Image width 240 mm. Image size 240x240. Head. Slice index 78.
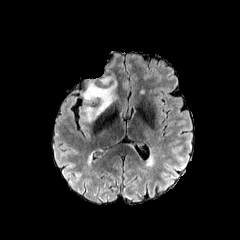
FLAIR magnetic resonance.
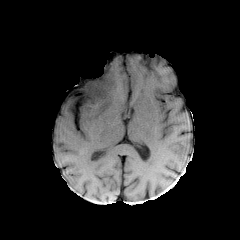
Same slice, T1-weighted MR.
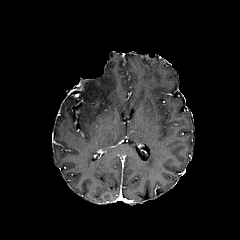
Same slice, post-contrast T1-weighted MRI.
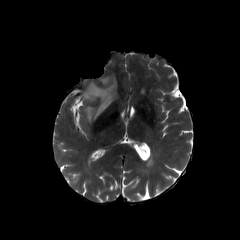
T2-weighted MR image.
peritumoral edema: 81, 75, 116, 121